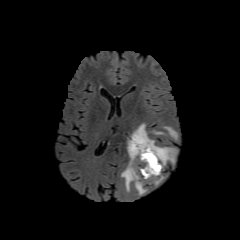
FLAIR MRI.
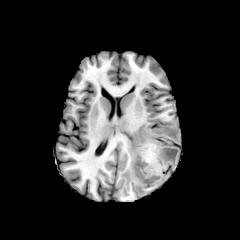
T1-weighted MR of the same slice.
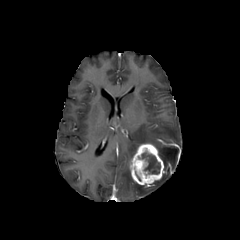
Post-contrast T1-weighted MRI of the same slice.
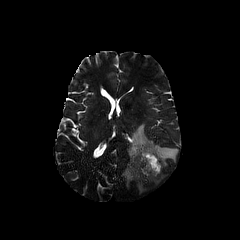
Same slice, T2-weighted MRI.
Brain, Axial slice
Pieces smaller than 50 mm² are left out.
The 3 largest peritumoral edema regions appear at <box>135,182,146,194</box>, <box>121,123,177,191</box>, <box>164,126,177,139</box>. The necrotic tumor core is bounded by <box>139,150,160,174</box>. The enhancing tumor appears at <box>130,144,163,185</box>.